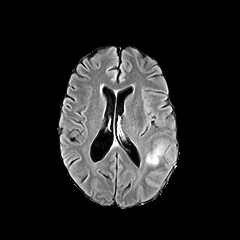
FLAIR MRI.
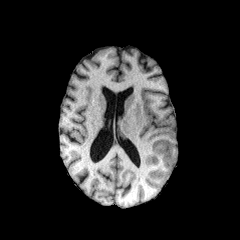
Same slice, T1-weighted MR.
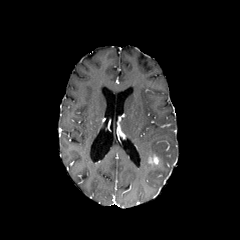
Post-contrast T1-weighted MRI.
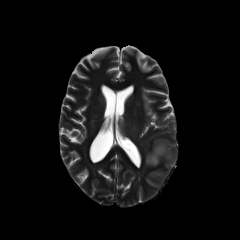
T2-weighted MR of the same slice.
{
  "peritumoral_edema": [
    "box=[146, 144, 164, 164]"
  ],
  "enhancing_tumor": [
    "box=[148, 155, 158, 164]"
  ]
}